Slice 75 of 155; Brain
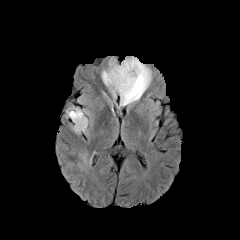
FLAIR MRI.
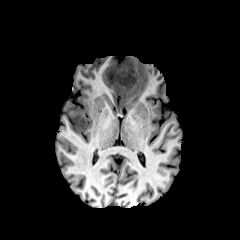
T1-weighted MR of the same slice.
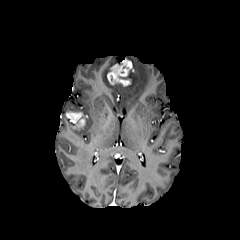
Post-contrast T1-weighted MRI of the same slice.
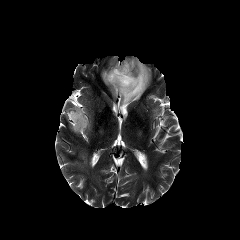
T2-weighted magnetic resonance of the same slice.
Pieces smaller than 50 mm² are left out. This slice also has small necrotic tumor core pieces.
{
  "peritumoral_edema": [
    "left=101, top=56, right=151, bottom=106",
    "left=73, top=117, right=87, bottom=132"
  ],
  "enhancing_tumor": [
    "left=66, top=111, right=85, bottom=129",
    "left=107, top=58, right=132, bottom=86"
  ]
}